Slice 46 of 155; 240x240; Axial slice
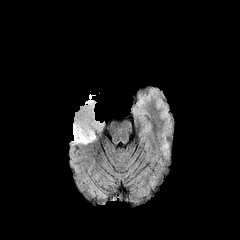
FLAIR magnetic resonance.
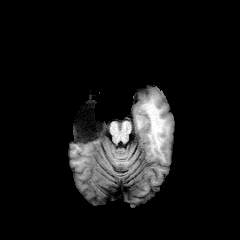
T1-weighted MR image.
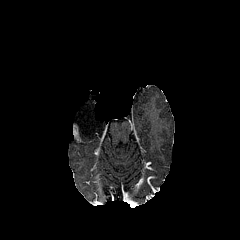
Same slice, post-contrast T1-weighted MR image.
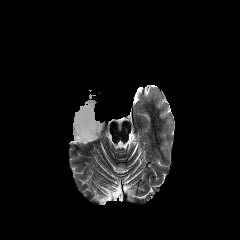
T2-weighted MR.
The peritumoral edema is bounded by (72, 94, 103, 144). The enhancing tumor lies within (73, 124, 82, 142).